FLAIR MR image.
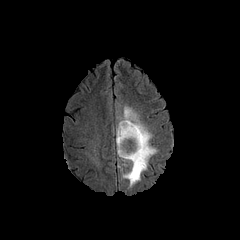
T1-weighted magnetic resonance.
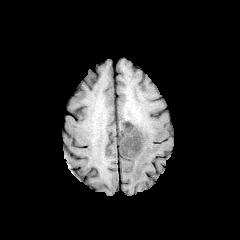
Post-contrast T1-weighted magnetic resonance.
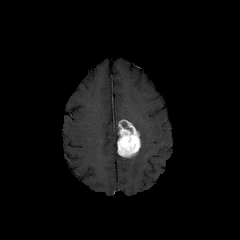
T2-weighted MR image.
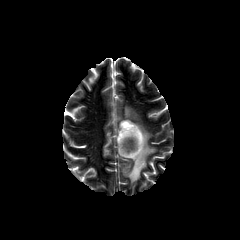
Brain | Image size 240x240
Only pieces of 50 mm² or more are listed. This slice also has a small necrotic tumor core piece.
enhancing tumor: bounding box {"x1": 117, "y1": 119, "x2": 141, "y2": 158}
peritumoral edema: bounding box {"x1": 119, "y1": 106, "x2": 156, "y2": 186}